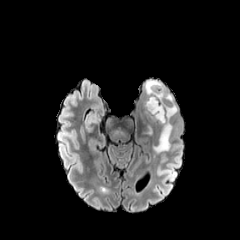
FLAIR MR.
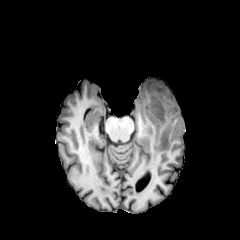
Same slice, T1-weighted MR.
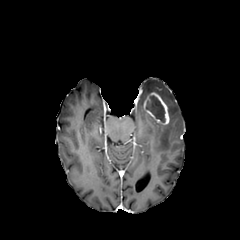
Post-contrast T1-weighted MR of the same slice.
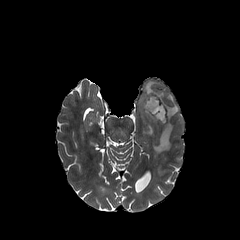
T2-weighted MR image.
Axial view; Brain
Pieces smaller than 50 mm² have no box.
The enhancing tumor is at x1=143, y1=92, x2=169, y2=125. The 2 largest peritumoral edema regions are bounded by x1=143, y1=80, x2=178, y2=152; x1=145, y1=115, x2=156, y2=135. The necrotic tumor core appears at x1=146, y1=95, x2=165, y2=122.